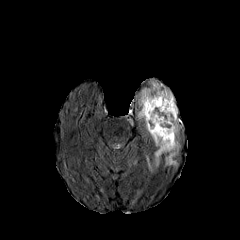
FLAIR MR.
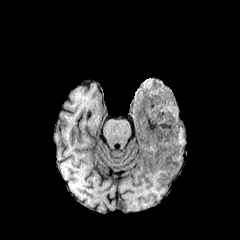
T1-weighted MR image.
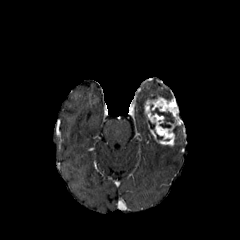
Post-contrast T1-weighted MR of the same slice.
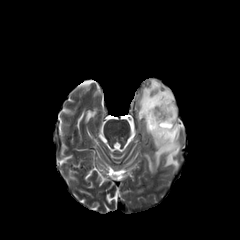
Same slice, T2-weighted MR image.
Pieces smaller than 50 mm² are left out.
The enhancing tumor is bounded by (x1=144, y1=96, x2=180, y2=146). The 2 largest peritumoral edema regions are located at (x1=137, y1=79, x2=173, y2=133), (x1=146, y1=139, x2=180, y2=172). The 2 largest necrotic tumor core regions are located at (x1=148, y1=120, x2=163, y2=139), (x1=150, y1=104, x2=174, y2=128).